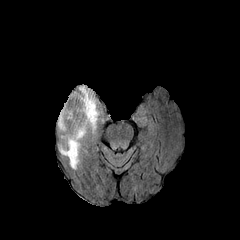
FLAIR magnetic resonance.
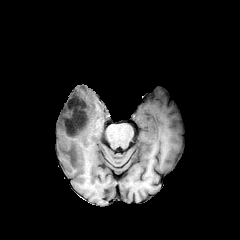
T1-weighted MRI of the same slice.
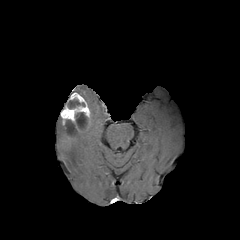
Same slice, post-contrast T1-weighted MRI.
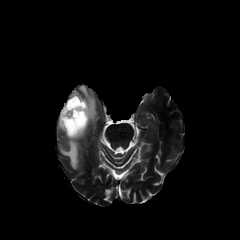
T2-weighted MRI of the same slice.
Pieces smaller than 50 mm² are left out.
<segmentation>
  <peritumoral_edema>[57,85,100,169]</peritumoral_edema>
  <enhancing_tumor>[60,92,92,137]</enhancing_tumor>
  <necrotic_tumor_core>[68,100,80,108], [75,112,87,130], [65,120,77,135]</necrotic_tumor_core>
</segmentation>